240x240
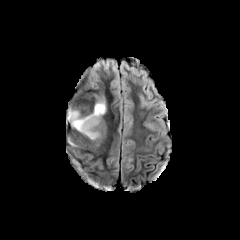
FLAIR MR image.
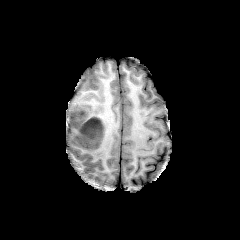
T1-weighted MRI.
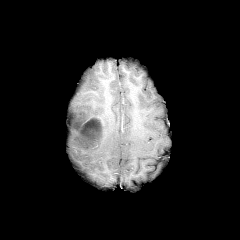
Post-contrast T1-weighted MR of the same slice.
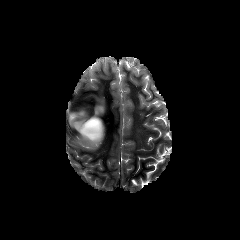
T2-weighted MR of the same slice.
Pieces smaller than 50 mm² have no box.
necrotic tumor core: bbox=[82, 118, 100, 138] | peritumoral edema: bbox=[67, 98, 106, 133]; bbox=[67, 134, 104, 148] | enhancing tumor: bbox=[80, 117, 104, 142]